FLAIR magnetic resonance.
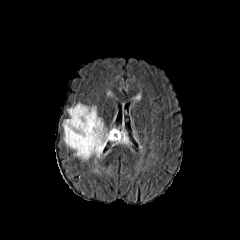
T1-weighted MRI.
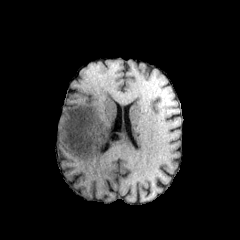
Post-contrast T1-weighted MR.
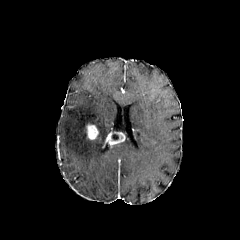
T2-weighted MRI.
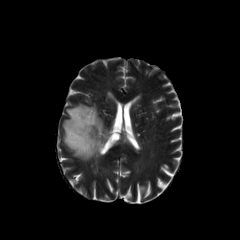
Head, Image size 240x240
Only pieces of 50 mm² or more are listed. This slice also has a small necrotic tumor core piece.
2 enhancing tumor regions appear at <box>86,123,98,139</box>, <box>105,130,125,145</box>. The 3 largest peritumoral edema regions are bounded by <box>120,129,136,152</box>, <box>133,92,142,100</box>, <box>62,103,110,175</box>.